FLAIR MR.
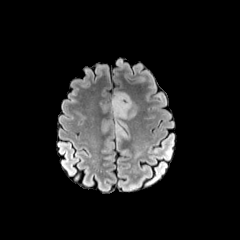
T1-weighted MR.
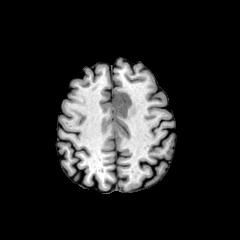
Post-contrast T1-weighted MR.
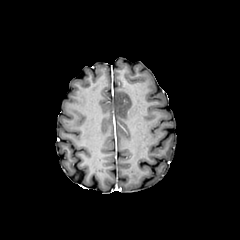
T2-weighted MRI.
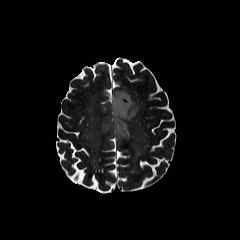
The peritumoral edema is bounded by <bbox>111, 91, 136, 125</bbox>.